FLAIR MR image.
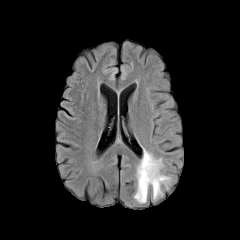
T1-weighted MRI.
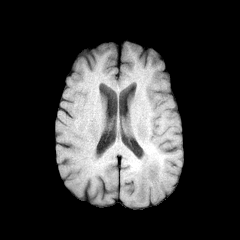
Post-contrast T1-weighted MR.
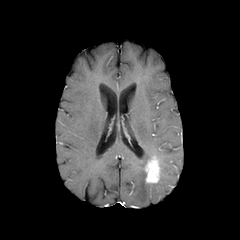
T2-weighted MR image.
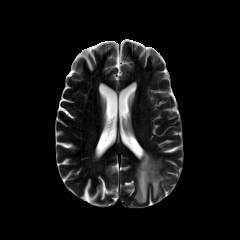
Brain. Axial view.
The enhancing tumor is located at x1=144 y1=157 x2=159 y2=183. The peritumoral edema lies within x1=134 y1=149 x2=171 y2=203.